Slice index 131
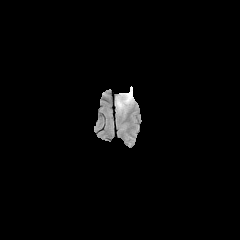
FLAIR MR image.
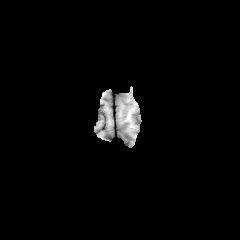
Same slice, T1-weighted MR image.
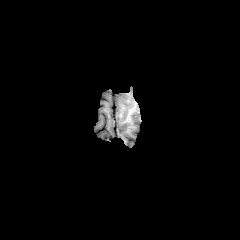
Post-contrast T1-weighted MRI.
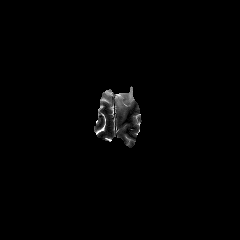
Same slice, T2-weighted magnetic resonance.
peritumoral edema: {"x1": 117, "y1": 87, "x2": 133, "y2": 107}